FLAIR MR.
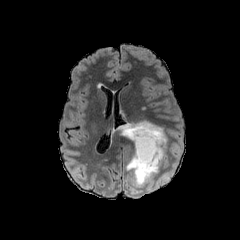
T1-weighted MRI.
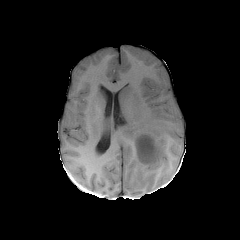
Post-contrast T1-weighted MRI.
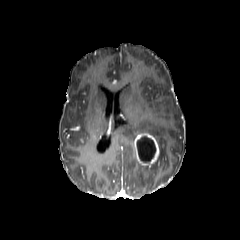
T2-weighted magnetic resonance.
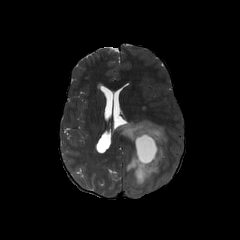
240x240 px
necrotic tumor core — [137, 136, 156, 162]
peritumoral edema — [115, 120, 167, 186]
enhancing tumor — [134, 133, 159, 167]